Head; Slice index 127; Axial view
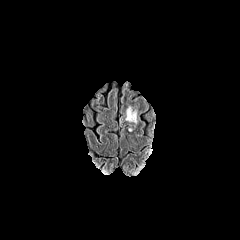
FLAIR MRI.
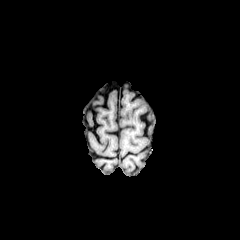
T1-weighted MR image.
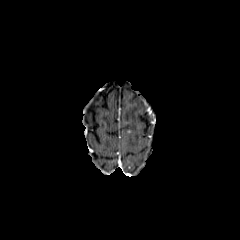
Post-contrast T1-weighted magnetic resonance.
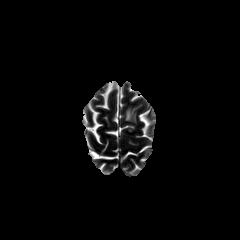
T2-weighted MRI of the same slice.
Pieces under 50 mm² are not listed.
peritumoral edema — <box>125,107,136,123</box>